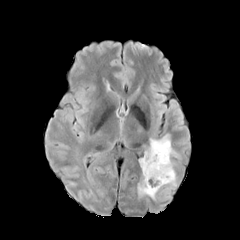
FLAIR MR image.
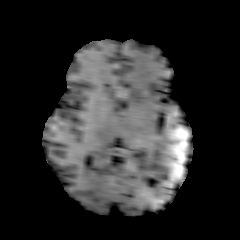
T1-weighted magnetic resonance of the same slice.
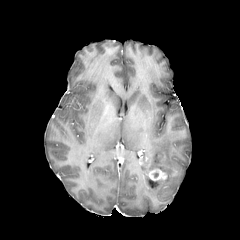
Post-contrast T1-weighted MR image.
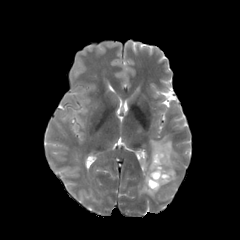
T2-weighted magnetic resonance.
Axial plane; 240x240; Brain
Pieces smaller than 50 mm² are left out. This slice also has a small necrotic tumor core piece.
<segmentation>
  <peritumoral_edema><bbox>138, 133, 179, 198</bbox></peritumoral_edema>
  <enhancing_tumor><bbox>148, 169, 167, 181</bbox></enhancing_tumor>
</segmentation>